FLAIR MR image.
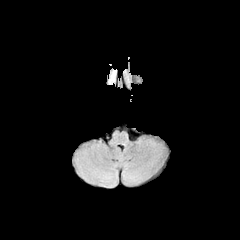
T1-weighted magnetic resonance.
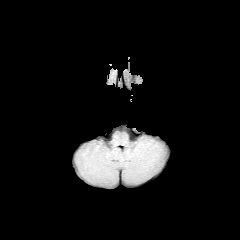
Post-contrast T1-weighted MR image.
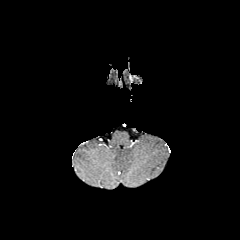
T2-weighted MR.
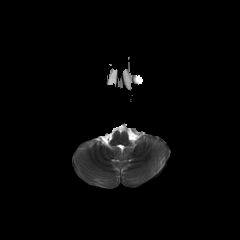
Axial view; Head
peritumoral_edema:
  - [108, 68, 117, 84]